FLAIR MR.
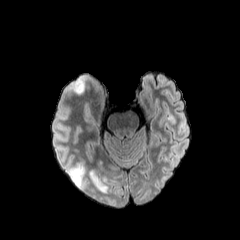
T1-weighted MR image.
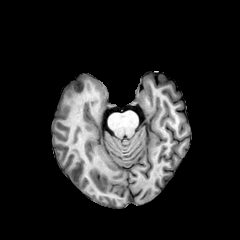
Post-contrast T1-weighted MR.
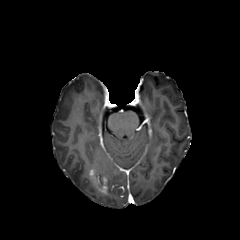
T2-weighted magnetic resonance.
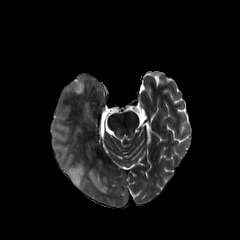
Brain
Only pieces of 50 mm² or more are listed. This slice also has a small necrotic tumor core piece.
Findings:
• peritumoral edema: <box>68,165,85,188</box>, <box>66,76,86,94</box>, <box>99,172,116,193</box>
• enhancing tumor: <box>89,169,107,193</box>